Head.
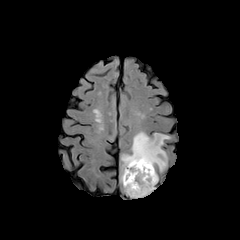
FLAIR MRI.
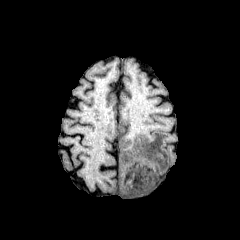
T1-weighted MR image.
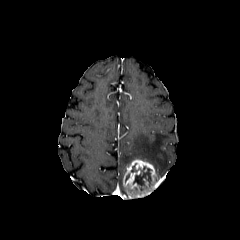
Same slice, post-contrast T1-weighted magnetic resonance.
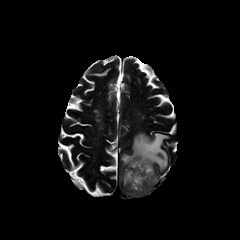
Same slice, T2-weighted MRI.
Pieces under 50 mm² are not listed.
peritumoral edema: (left=120, top=131, right=170, bottom=182) | enhancing tumor: (left=123, top=159, right=158, bottom=198) | necrotic tumor core: (left=133, top=166, right=151, bottom=190)